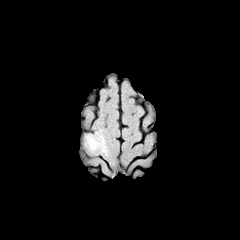
FLAIR MR.
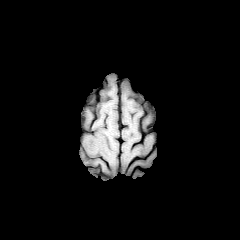
Same slice, T1-weighted MR.
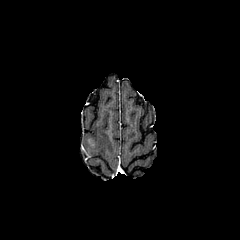
Post-contrast T1-weighted MR of the same slice.
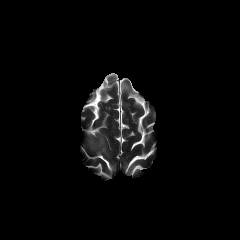
T2-weighted MRI.
Axial view
The enhancing tumor appears at region(88, 138, 94, 148). The peritumoral edema appears at region(81, 129, 109, 158).